FLAIR MR image.
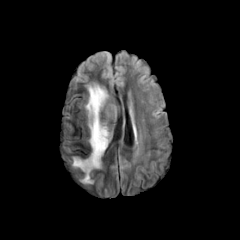
T1-weighted MRI.
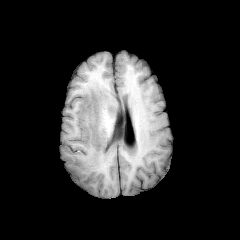
Post-contrast T1-weighted MR.
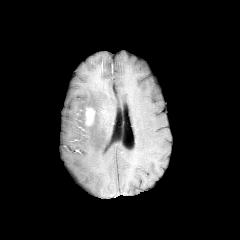
T2-weighted MR image.
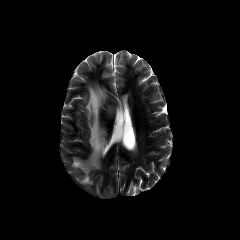
Segmented structures:
• enhancing tumor: bbox(85, 108, 94, 125)
• peritumoral edema: bbox(72, 85, 108, 183)